240x240 px. Slice 63/155. Brain.
FLAIR MR.
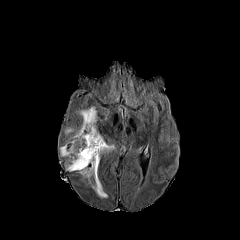
T1-weighted MRI.
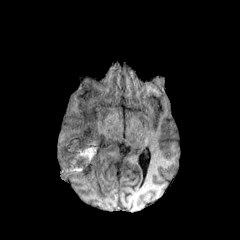
Post-contrast T1-weighted MR.
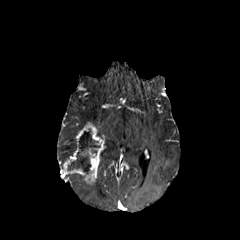
T2-weighted MRI.
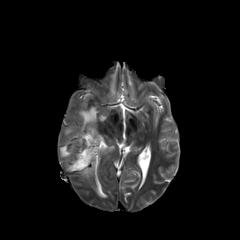
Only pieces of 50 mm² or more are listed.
necrotic tumor core: [68, 130, 100, 173] | peritumoral edema: [101, 142, 114, 154], [91, 178, 107, 197], [59, 128, 79, 157], [79, 106, 97, 129] | enhancing tumor: [63, 122, 105, 184]